Slice index 79, Head
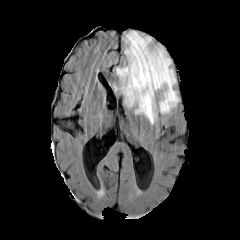
FLAIR MR.
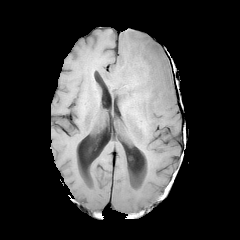
T1-weighted MR image.
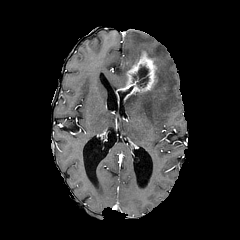
Post-contrast T1-weighted MR image.
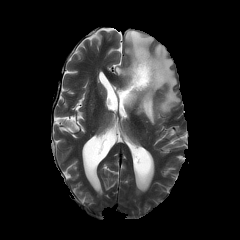
T2-weighted magnetic resonance of the same slice.
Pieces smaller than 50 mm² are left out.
Segmented structures:
* peritumoral edema: bbox=[116, 30, 178, 124]
* enhancing tumor: bbox=[118, 51, 157, 97]
* necrotic tumor core: bbox=[133, 65, 148, 87]